Slice 116 of 155; 240x240
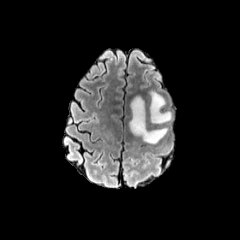
FLAIR MRI.
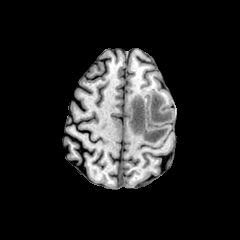
T1-weighted MRI of the same slice.
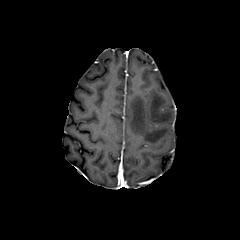
Post-contrast T1-weighted magnetic resonance.
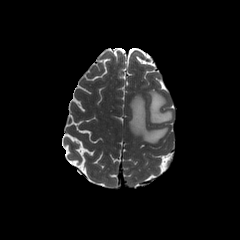
T2-weighted MR image.
peritumoral edema: bounding box (129,96,167,143), (149,91,171,124)